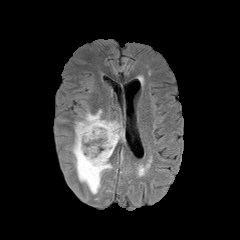
FLAIR MRI.
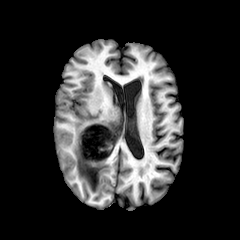
T1-weighted MR of the same slice.
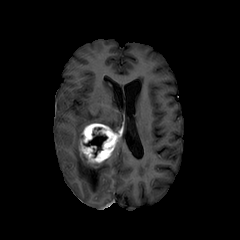
Same slice, post-contrast T1-weighted magnetic resonance.
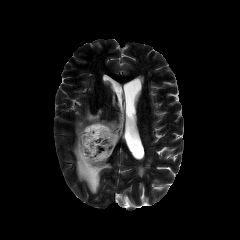
Same slice, T2-weighted magnetic resonance.
Head
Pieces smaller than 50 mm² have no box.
enhancing tumor at 79:123:120:167
peritumoral edema at 72:109:121:194
necrotic tumor core at 83:132:107:157